FLAIR magnetic resonance.
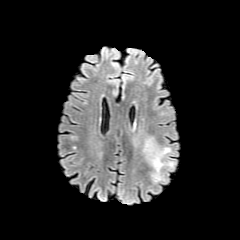
T1-weighted magnetic resonance.
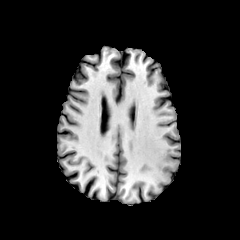
Post-contrast T1-weighted MR image.
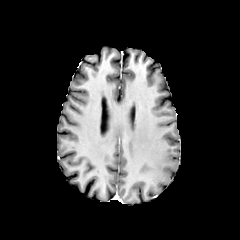
T2-weighted MR image.
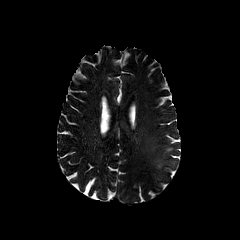
Head
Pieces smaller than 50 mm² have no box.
The largest peritumoral edema region is bounded by (left=144, top=141, right=170, bottom=179).